FLAIR magnetic resonance.
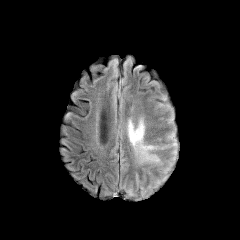
T1-weighted MR image.
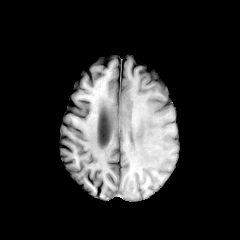
Post-contrast T1-weighted MR.
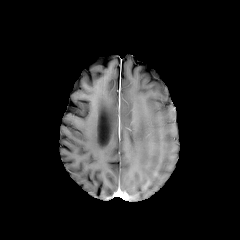
T2-weighted MR image.
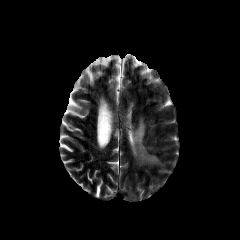
Findings:
• peritumoral edema: (128, 122, 157, 160)